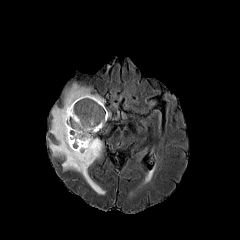
FLAIR MR.
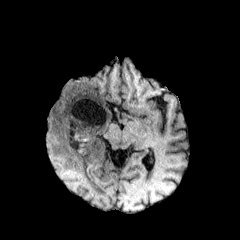
T1-weighted MR image.
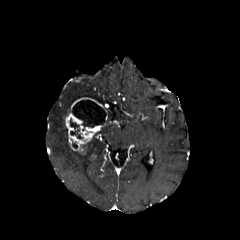
Same slice, post-contrast T1-weighted MR.
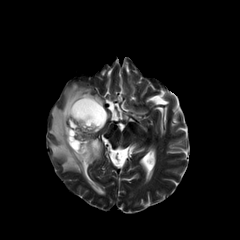
T2-weighted MR.
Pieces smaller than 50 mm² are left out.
enhancing tumor at (left=65, top=97, right=107, bottom=154)
necrotic tumor core at (left=70, top=129, right=82, bottom=138), (left=71, top=100, right=106, bottom=127)
peritumoral edema at (left=48, top=83, right=105, bottom=194)